FLAIR magnetic resonance.
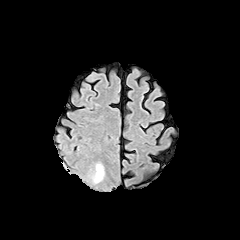
T1-weighted MRI.
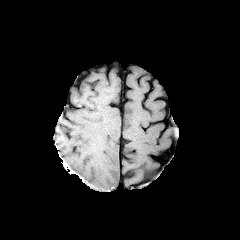
Post-contrast T1-weighted MRI.
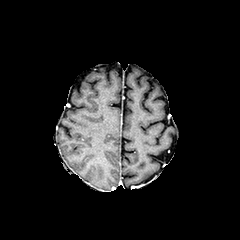
T2-weighted MR.
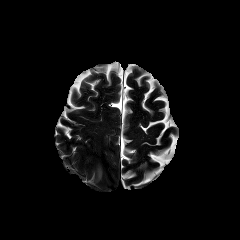
Axial view
The peritumoral edema is at region(94, 164, 103, 182).